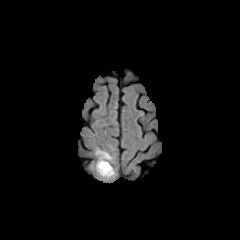
FLAIR MRI.
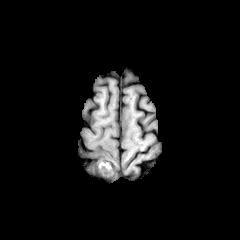
T1-weighted MRI of the same slice.
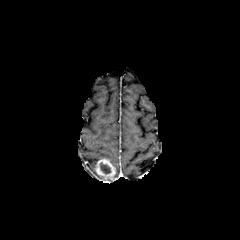
Post-contrast T1-weighted magnetic resonance.
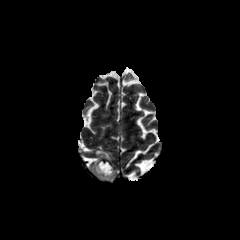
T2-weighted MRI.
240x240 | Axial slice
necrotic tumor core: 100, 162, 110, 174
enhancing tumor: 95, 159, 115, 179
peritumoral edema: 96, 149, 112, 160